Head, Image width 240 mm
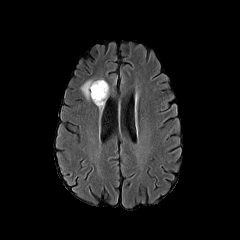
FLAIR MR.
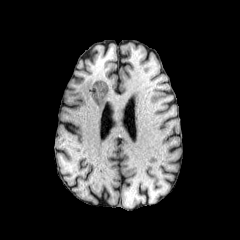
Same slice, T1-weighted MRI.
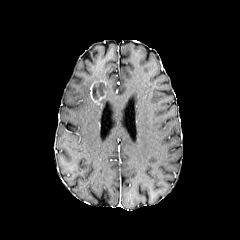
Post-contrast T1-weighted magnetic resonance of the same slice.
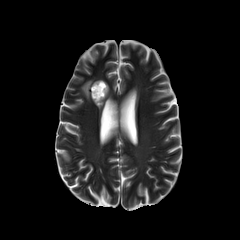
T2-weighted magnetic resonance of the same slice.
The enhancing tumor appears at bbox(90, 80, 107, 105). The necrotic tumor core lies within bbox(92, 82, 107, 99). 2 peritumoral edema regions are bounded by bbox(97, 83, 109, 109); bbox(81, 80, 93, 99).